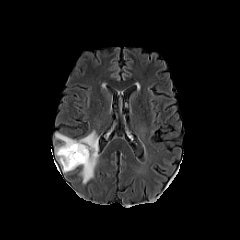
FLAIR MR image.
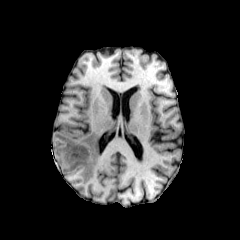
Same slice, T1-weighted MRI.
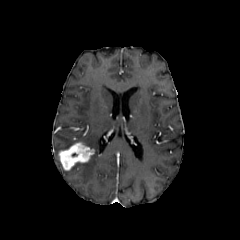
Same slice, post-contrast T1-weighted MRI.
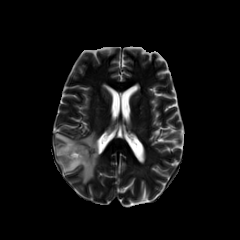
Same slice, T2-weighted MR.
Brain | Axial plane | Image size 240x240
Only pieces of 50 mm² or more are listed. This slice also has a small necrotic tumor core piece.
{
  "peritumoral_edema": [
    {"x1": 55, "y1": 131, "x2": 98, "y2": 183}
  ],
  "enhancing_tumor": [
    {"x1": 58, "y1": 142, "x2": 94, "y2": 170}
  ]
}